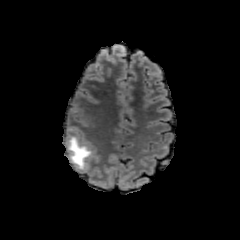
FLAIR MRI.
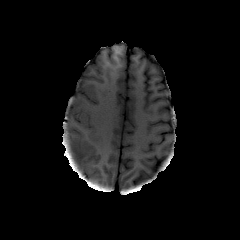
T1-weighted MR image.
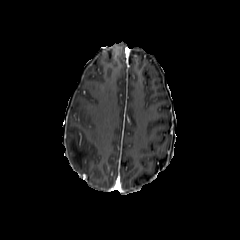
Post-contrast T1-weighted MRI of the same slice.
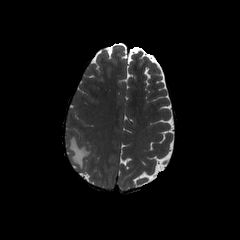
T2-weighted MR.
Head. 240x240 px.
The peritumoral edema appears at rect(68, 137, 91, 168).